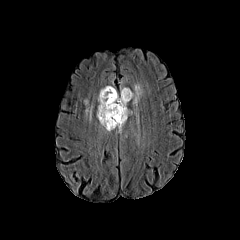
FLAIR MRI.
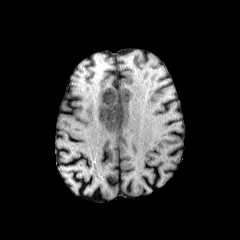
T1-weighted magnetic resonance.
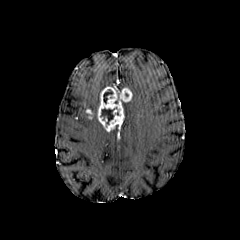
Post-contrast T1-weighted magnetic resonance of the same slice.
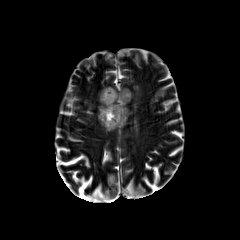
T2-weighted magnetic resonance of the same slice.
Brain. Axial view.
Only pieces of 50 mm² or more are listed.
peritumoral_edema:
  - l=132, t=85, r=142, b=105
  - l=123, t=102, r=131, b=124
enhancing_tumor:
  - l=84, t=108, r=93, b=119
  - l=97, t=87, r=132, b=131
necrotic_tumor_core:
  - l=100, t=107, r=116, b=124
  - l=103, t=89, r=112, b=103